FLAIR MR image.
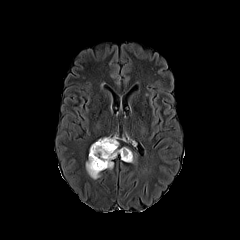
T1-weighted MR image.
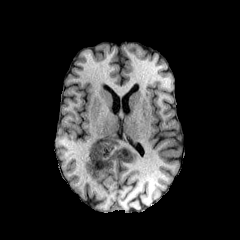
Post-contrast T1-weighted MRI.
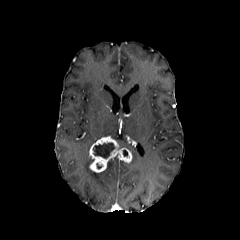
T2-weighted magnetic resonance.
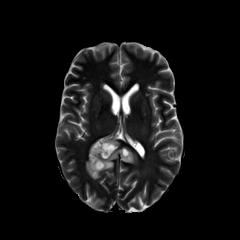
Head; Axial plane
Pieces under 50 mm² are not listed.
necrotic tumor core: (93, 143, 114, 158) | enhancing tumor: (89, 137, 132, 172) | peritumoral edema: (85, 157, 100, 179), (107, 160, 113, 169)